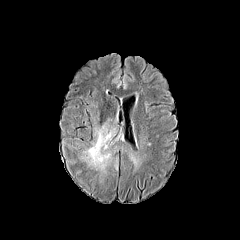
FLAIR MR image.
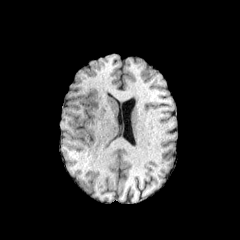
T1-weighted MR image.
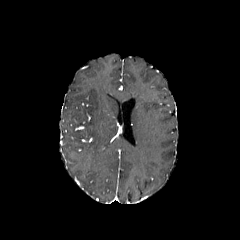
Post-contrast T1-weighted MR.
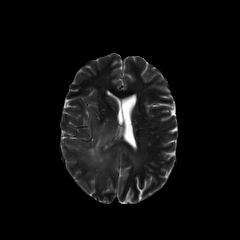
Same slice, T2-weighted MRI.
Brain
peritumoral edema = bbox=[83, 123, 115, 171]